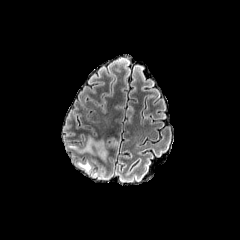
FLAIR magnetic resonance.
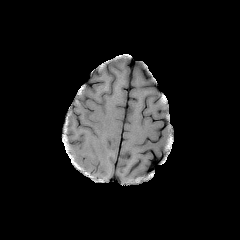
T1-weighted magnetic resonance.
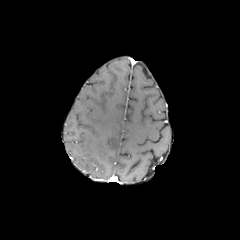
Post-contrast T1-weighted MRI.
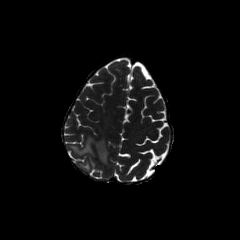
T2-weighted MRI.
Brain
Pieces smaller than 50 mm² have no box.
Annotated regions:
- peritumoral edema: 80:137:107:161, 77:162:90:171